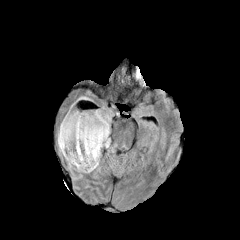
FLAIR MRI.
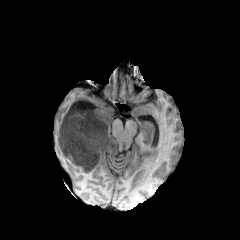
T1-weighted magnetic resonance of the same slice.
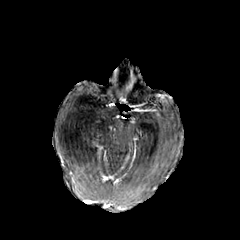
Post-contrast T1-weighted MR.
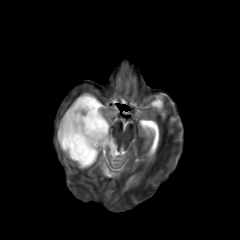
T2-weighted MR image of the same slice.
Axial plane. Brain. 240x240 px.
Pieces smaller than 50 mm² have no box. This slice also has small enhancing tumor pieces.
The 2 largest peritumoral edema regions are located at (57, 133, 99, 173), (67, 92, 111, 146). The largest necrotic tumor core region is bounded by (58, 112, 102, 166).